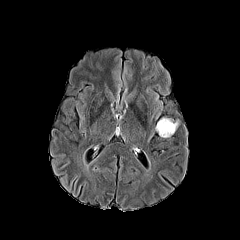
FLAIR MR image.
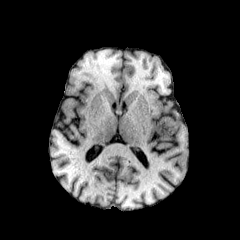
T1-weighted MRI of the same slice.
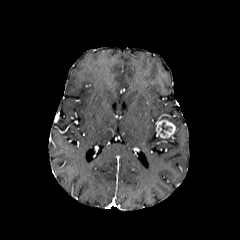
Post-contrast T1-weighted magnetic resonance.
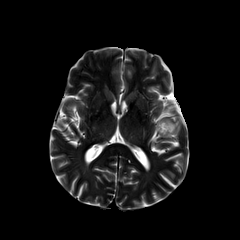
Same slice, T2-weighted MR.
Axial plane, Image size 240x240
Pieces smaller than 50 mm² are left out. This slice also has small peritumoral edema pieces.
necrotic tumor core: x1=161, y1=123, x2=171, y2=134 | enhancing tumor: x1=156, y1=119, x2=175, y2=138